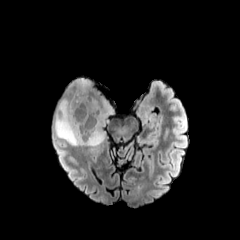
FLAIR MR image.
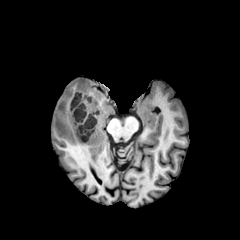
T1-weighted magnetic resonance of the same slice.
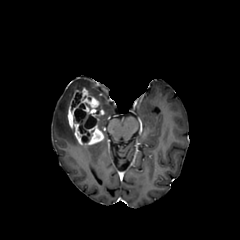
Same slice, post-contrast T1-weighted MRI.
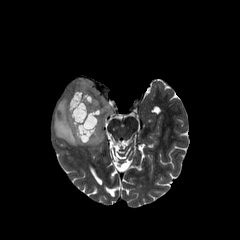
Same slice, T2-weighted MR.
Head
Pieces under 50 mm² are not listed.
necrotic tumor core: x1=84 y1=115 x2=96 y2=128, x1=72 y1=93 x2=81 y2=108, x1=74 y1=104 x2=85 y2=121 | enhancing tumor: x1=67 y1=87 x2=104 y2=144 | peritumoral edema: x1=54 y1=98 x2=104 y2=147, x1=75 y1=78 x2=113 y2=130